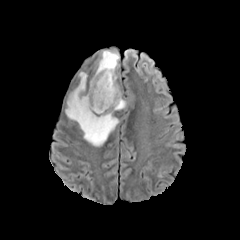
FLAIR MRI.
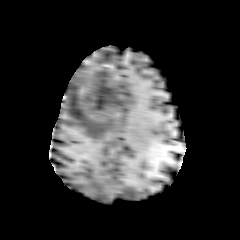
T1-weighted MRI.
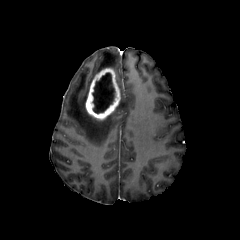
Same slice, post-contrast T1-weighted magnetic resonance.
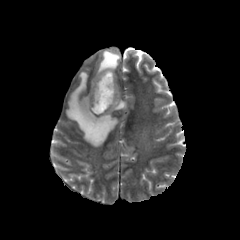
T2-weighted MRI.
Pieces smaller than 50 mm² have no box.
{"enhancing_tumor": ["<bbox>85, 68, 120, 120</bbox>"], "necrotic_tumor_core": ["<bbox>92, 73, 114, 113</bbox>"], "peritumoral_edema": ["<bbox>115, 99, 125, 110</bbox>", "<bbox>96, 50, 119, 73</bbox>", "<bbox>66, 72, 118, 146</bbox>"]}